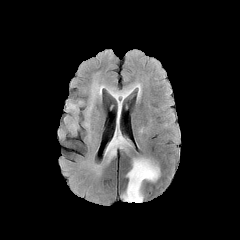
FLAIR MRI.
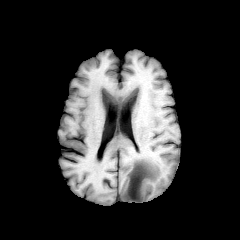
T1-weighted MR image.
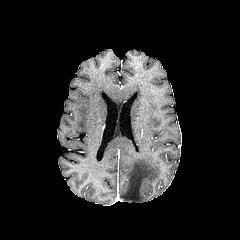
Post-contrast T1-weighted MR image.
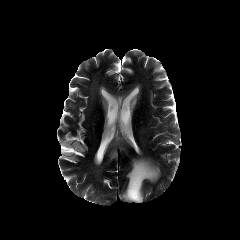
Same slice, T2-weighted MRI.
Brain, Axial slice
2 peritumoral edema regions appear at 121,157,160,202; 106,85,138,164.